Axial plane | Slice 82/155
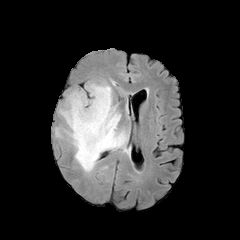
FLAIR MRI.
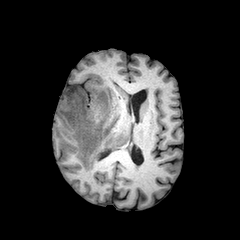
T1-weighted MR image of the same slice.
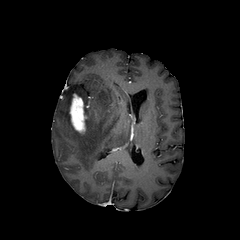
Post-contrast T1-weighted MR image.
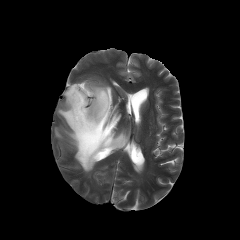
T2-weighted MR of the same slice.
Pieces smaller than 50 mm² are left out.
The largest peritumoral edema region is located at <box>55,81,128,172</box>. The enhancing tumor is at <box>69,93,87,132</box>.